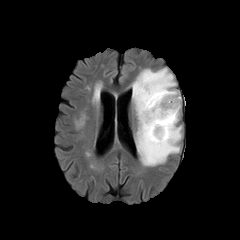
FLAIR magnetic resonance.
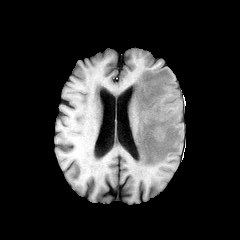
T1-weighted MRI.
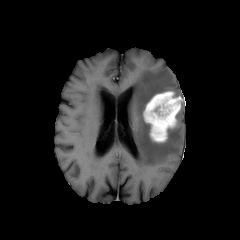
Post-contrast T1-weighted magnetic resonance of the same slice.
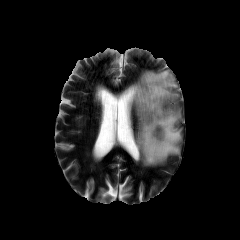
Same slice, T2-weighted magnetic resonance.
Image size 240x240
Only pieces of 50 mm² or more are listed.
Segmented structures:
• enhancing tumor: box=[143, 91, 181, 142]
• necrotic tumor core: box=[153, 106, 172, 116]
• peritumoral edema: box=[132, 67, 182, 166]